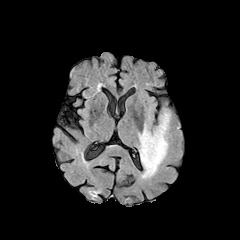
FLAIR magnetic resonance.
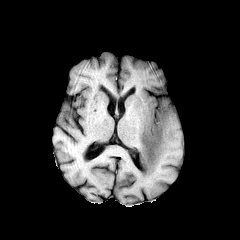
T1-weighted magnetic resonance.
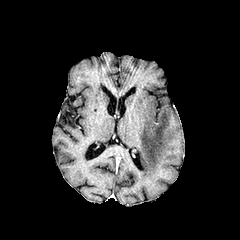
Post-contrast T1-weighted MR image.
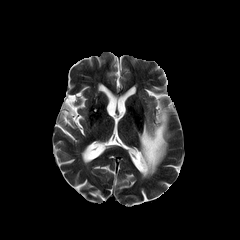
T2-weighted MR image.
Image size 240x240
The peritumoral edema appears at <bbox>138, 108, 170, 178</bbox>.